Axial plane; Slice 129 of 155
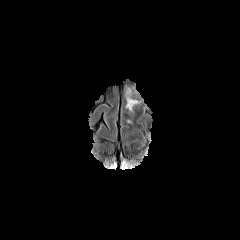
FLAIR MRI.
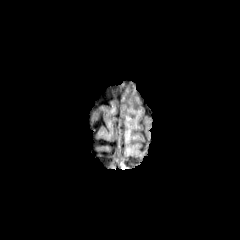
Same slice, T1-weighted magnetic resonance.
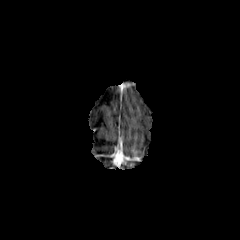
Post-contrast T1-weighted magnetic resonance.
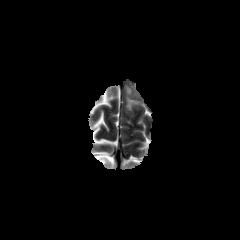
T2-weighted MR image.
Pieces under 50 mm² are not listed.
<segmentation>
  <peritumoral_edema>(left=126, top=98, right=137, bottom=109)</peritumoral_edema>
</segmentation>